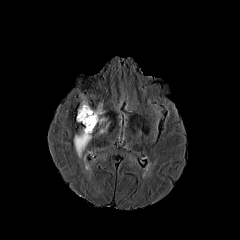
FLAIR MRI.
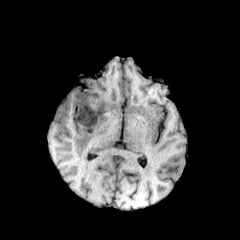
T1-weighted MRI.
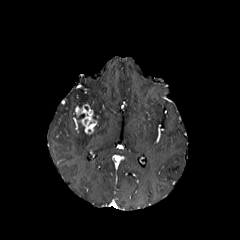
Post-contrast T1-weighted MR.
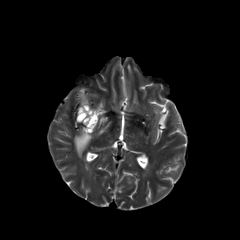
Same slice, T2-weighted MR.
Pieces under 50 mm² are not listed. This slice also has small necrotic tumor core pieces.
enhancing tumor at rect(77, 103, 97, 134)
peritumoral edema at rect(94, 103, 103, 115); rect(74, 127, 91, 157); rect(79, 94, 87, 106)